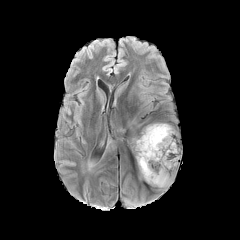
FLAIR magnetic resonance.
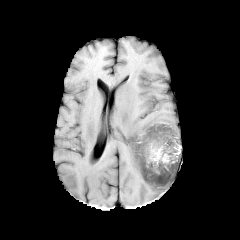
T1-weighted MR image of the same slice.
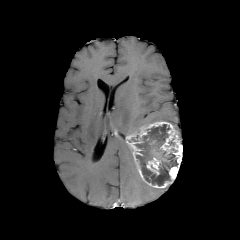
Post-contrast T1-weighted MR of the same slice.
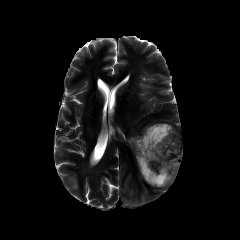
T2-weighted magnetic resonance.
240x240 px
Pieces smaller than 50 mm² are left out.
The largest necrotic tumor core region is bounded by box(135, 124, 177, 185). The 2 largest enhancing tumor regions are bounded by box(127, 122, 182, 188); box(146, 149, 169, 175).